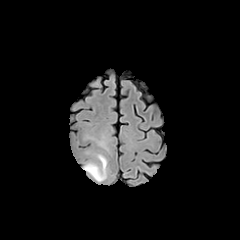
FLAIR magnetic resonance.
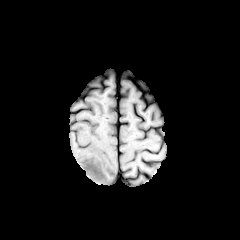
Same slice, T1-weighted magnetic resonance.
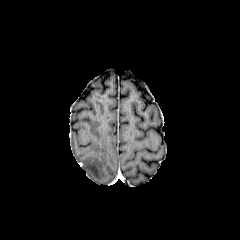
Post-contrast T1-weighted MR image.
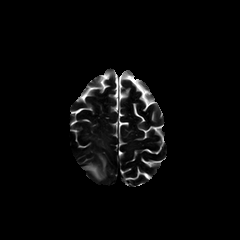
T2-weighted MRI of the same slice.
240x240 px, Head
peritumoral edema at box(83, 154, 106, 181)